FLAIR MR.
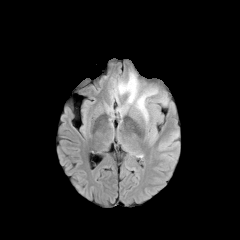
T1-weighted MR.
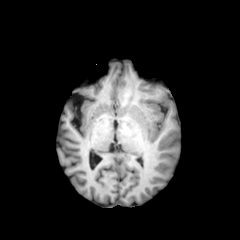
Post-contrast T1-weighted MR image.
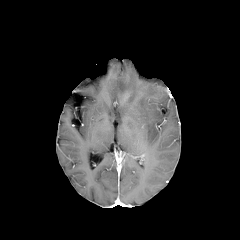
T2-weighted magnetic resonance.
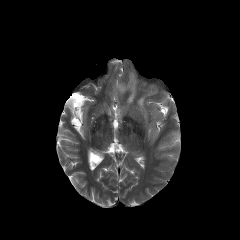
240x240
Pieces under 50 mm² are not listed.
peritumoral edema — 115 73 137 103, 136 90 156 120